FLAIR MRI.
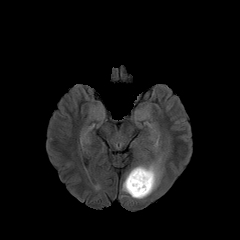
T1-weighted MRI.
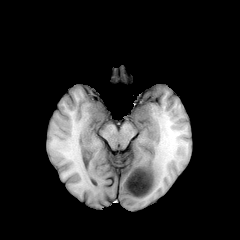
Post-contrast T1-weighted MRI.
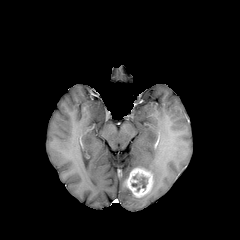
T2-weighted MR image.
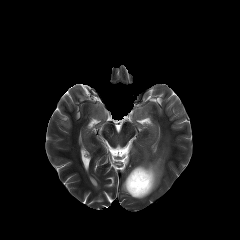
240x240.
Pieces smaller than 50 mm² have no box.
{"necrotic_tumor_core": ["x1=132, y1=175, x2=147, y2=188"], "peritumoral_edema": ["x1=122, y1=156, x2=162, y2=199"], "enhancing_tumor": ["x1=124, y1=167, x2=153, y2=197"]}